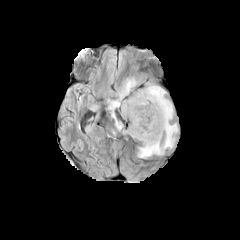
FLAIR magnetic resonance.
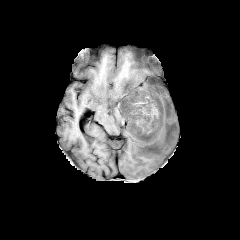
T1-weighted magnetic resonance of the same slice.
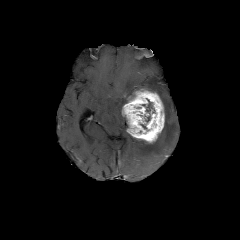
Same slice, post-contrast T1-weighted MR.
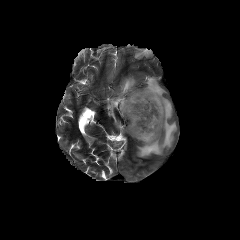
Same slice, T2-weighted magnetic resonance.
Image size 240x240; Head; Axial slice
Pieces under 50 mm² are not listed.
enhancing_tumor:
  - x1=121 y1=89 x2=164 y2=143
necrotic_tumor_core:
  - x1=141 y1=99 x2=155 y2=113
peritumoral_edema:
  - x1=137 y1=80 x2=177 y2=157
  - x1=108 y1=78 x2=136 y2=129